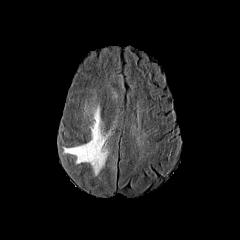
FLAIR MRI.
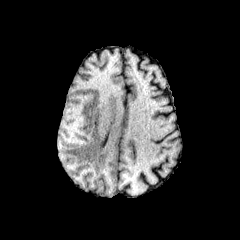
Same slice, T1-weighted magnetic resonance.
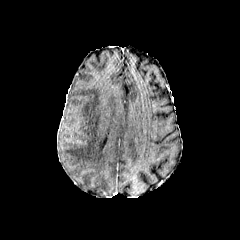
Same slice, post-contrast T1-weighted magnetic resonance.
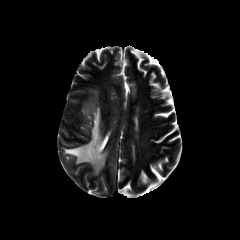
T2-weighted MR image of the same slice.
Head.
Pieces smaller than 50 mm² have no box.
{
  "peritumoral_edema": [
    "(63, 105, 110, 175)"
  ]
}